Axial slice | Slice 96 of 155 | Head
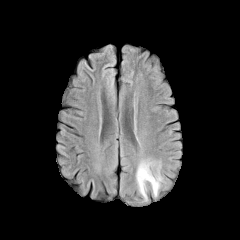
FLAIR MR.
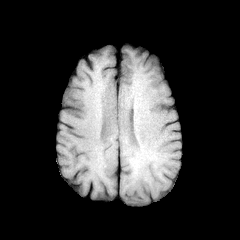
T1-weighted magnetic resonance of the same slice.
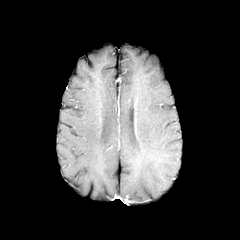
Post-contrast T1-weighted MR of the same slice.
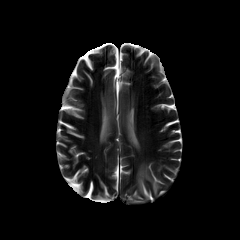
T2-weighted MR image.
peritumoral edema: {"x1": 136, "y1": 160, "x2": 162, "y2": 200}